FLAIR magnetic resonance.
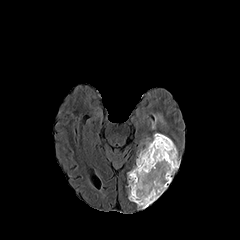
T1-weighted MRI.
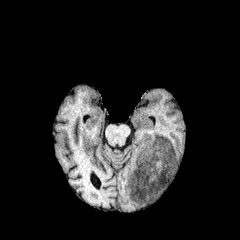
Post-contrast T1-weighted magnetic resonance.
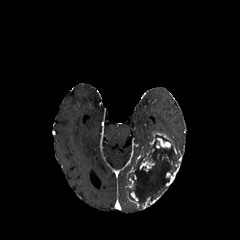
T2-weighted MRI.
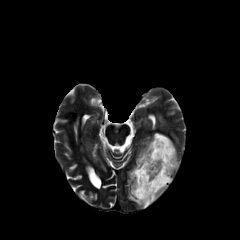
Brain | Image size 240x240
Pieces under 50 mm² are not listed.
The 6 largest enhancing tumor regions are located at box=[142, 192, 163, 209]; box=[139, 149, 155, 171]; box=[126, 178, 134, 188]; box=[149, 132, 177, 154]; box=[166, 159, 179, 186]; box=[127, 191, 139, 207]. The 2 largest peritumoral edema regions appear at box=[156, 115, 164, 124]; box=[138, 138, 152, 155]. The largest necrotic tumor core region lies within box=[128, 140, 178, 208].